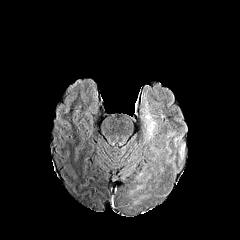
FLAIR magnetic resonance.
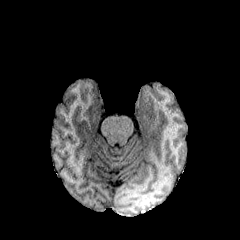
T1-weighted MR of the same slice.
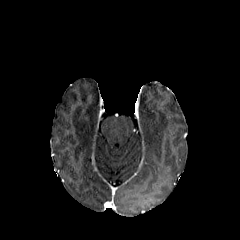
Post-contrast T1-weighted magnetic resonance.
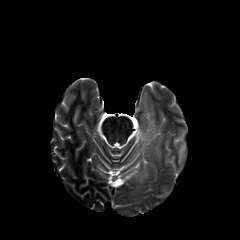
T2-weighted MR image.
Head
peritumoral edema: (x1=147, y1=116, x2=154, y2=138)